FLAIR magnetic resonance.
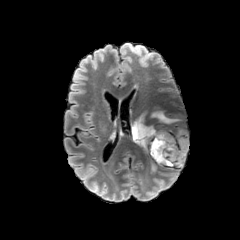
T1-weighted MRI.
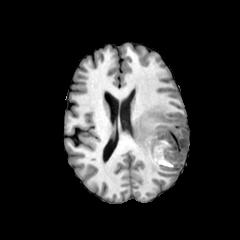
Post-contrast T1-weighted magnetic resonance.
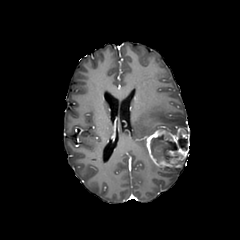
T2-weighted MR image.
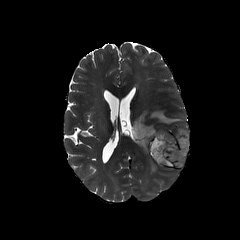
Axial view
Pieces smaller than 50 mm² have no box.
enhancing tumor at [144, 126, 189, 167]
necrotic tumor core at [150, 135, 187, 165]
peritumoral edema at [130, 110, 187, 154]